FLAIR MR image.
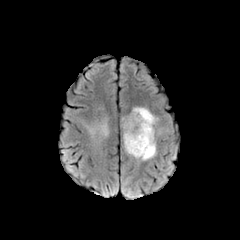
T1-weighted magnetic resonance.
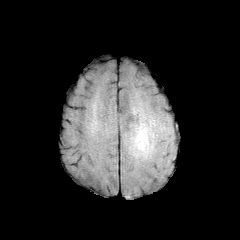
Post-contrast T1-weighted magnetic resonance.
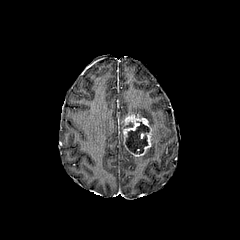
T2-weighted magnetic resonance.
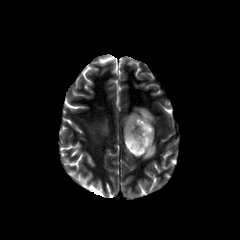
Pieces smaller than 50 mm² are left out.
enhancing tumor at (122, 114, 152, 156)
necrotic tumor core at (125, 121, 149, 153)
peritumoral edema at (129, 107, 157, 160), (101, 123, 108, 135)